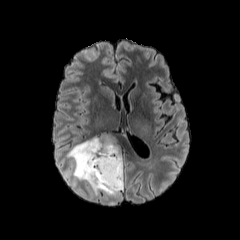
FLAIR MR.
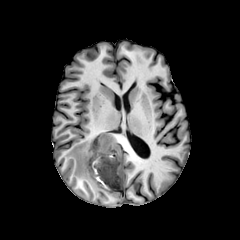
T1-weighted MR of the same slice.
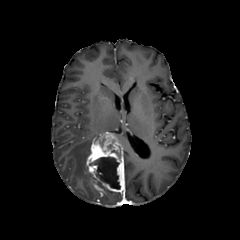
Post-contrast T1-weighted MRI.
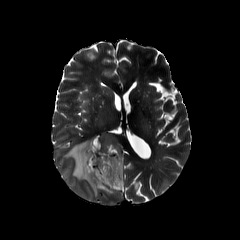
Same slice, T2-weighted MR.
Head
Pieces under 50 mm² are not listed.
enhancing tumor — 86:132:124:194
peritumoral edema — 103:192:121:198, 66:139:100:196
necrotic tumor core — 89:156:120:190